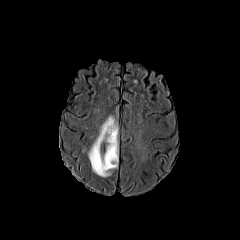
FLAIR magnetic resonance.
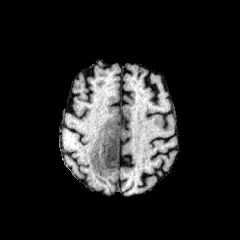
T1-weighted MR.
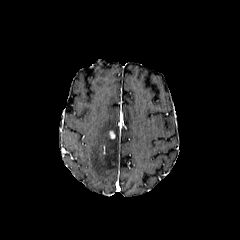
Post-contrast T1-weighted MR image of the same slice.
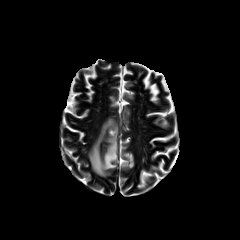
Same slice, T2-weighted MR image.
Head
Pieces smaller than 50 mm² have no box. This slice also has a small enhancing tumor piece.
peritumoral edema: bounding box left=88, top=116, right=118, bottom=177